Axial view; Head; Image size 240x240
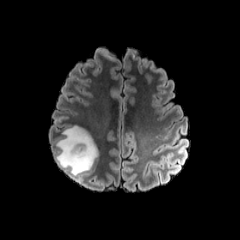
FLAIR MRI.
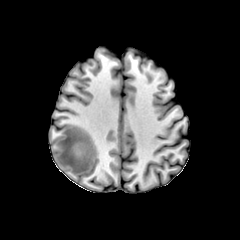
T1-weighted MR of the same slice.
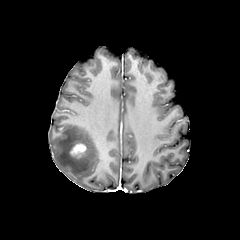
Same slice, post-contrast T1-weighted MR image.
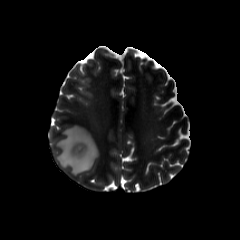
Same slice, T2-weighted MR image.
- enhancing tumor: (x1=69, y1=143, x2=86, y2=158)
- peritumoral edema: (x1=55, y1=125, x2=98, y2=177)